Brain. Axial view.
FLAIR MR.
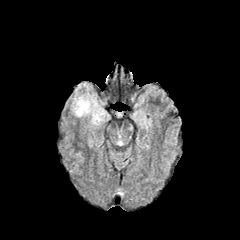
T1-weighted MRI.
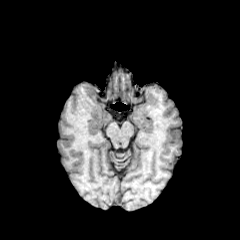
Post-contrast T1-weighted magnetic resonance.
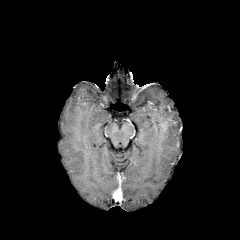
T2-weighted MR.
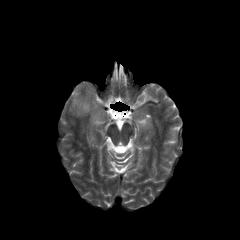
peritumoral_edema:
  - 72:93:108:125